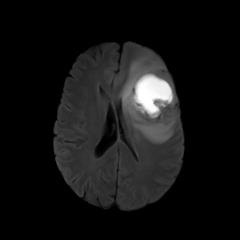
FLAIR MRI.
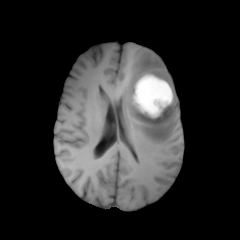
T1-weighted MR image.
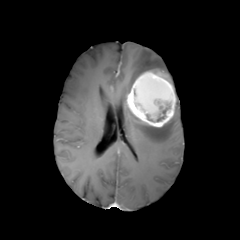
Same slice, post-contrast T1-weighted magnetic resonance.
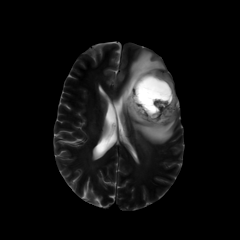
T2-weighted MRI.
Axial view; Image size 240x240
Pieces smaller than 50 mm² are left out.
peritumoral edema: 119, 49, 176, 143 | enhancing tumor: 126, 71, 176, 127 | necrotic tumor core: 159, 104, 169, 114